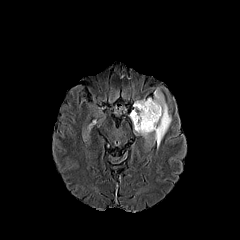
FLAIR MRI.
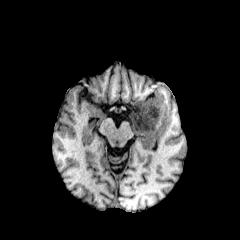
Same slice, T1-weighted MR image.
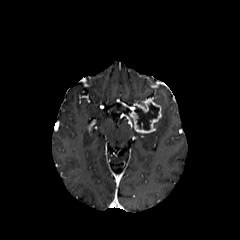
Post-contrast T1-weighted MR image.
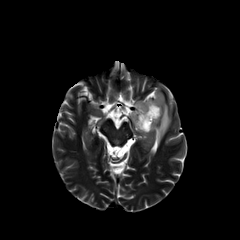
T2-weighted MR.
Axial plane. 240x240 px.
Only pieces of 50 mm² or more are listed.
The necrotic tumor core is at l=134, t=103, r=159, b=130. The largest enhancing tumor region lies within l=130, t=98, r=161, b=133. The largest peritumoral edema region is bounded by l=134, t=88, r=171, b=147.